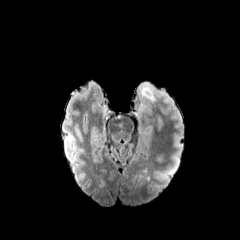
FLAIR MR.
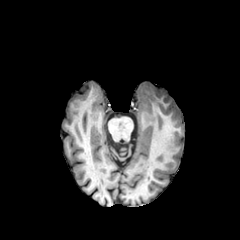
T1-weighted MR image of the same slice.
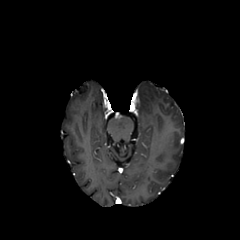
Post-contrast T1-weighted MR image.
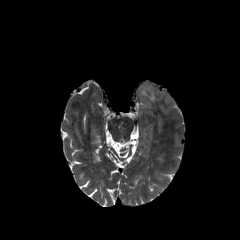
T2-weighted magnetic resonance.
Brain | 240x240 px
Segmented structures:
* peritumoral edema: bbox=[137, 82, 176, 117]